FLAIR MR image.
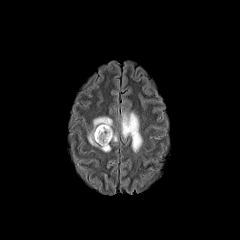
T1-weighted magnetic resonance.
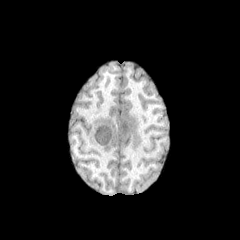
Post-contrast T1-weighted MRI.
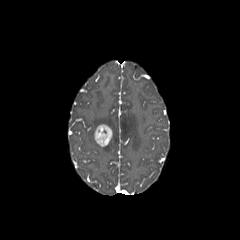
T2-weighted magnetic resonance.
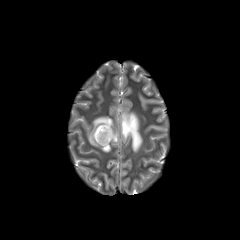
Axial view, 240x240
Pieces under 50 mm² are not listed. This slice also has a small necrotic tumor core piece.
• peritumoral edema: box=[121, 112, 142, 152]; box=[111, 132, 117, 142]; box=[88, 116, 112, 152]
• enhancing tumor: box=[94, 124, 112, 146]